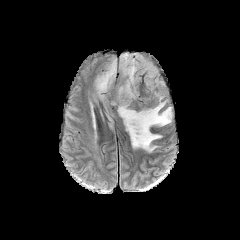
FLAIR magnetic resonance.
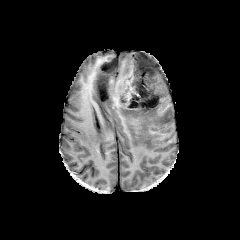
T1-weighted magnetic resonance of the same slice.
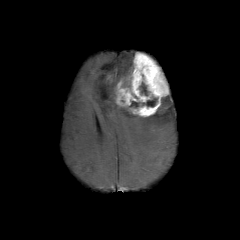
Post-contrast T1-weighted magnetic resonance.
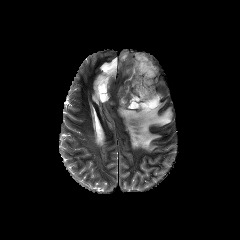
T2-weighted magnetic resonance of the same slice.
240x240 px
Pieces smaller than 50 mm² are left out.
Findings:
* enhancing tumor: {"x1": 116, "y1": 52, "x2": 168, "y2": 117}
* peritumoral edema: {"x1": 95, "y1": 53, "x2": 172, "y2": 152}
* necrotic tumor core: {"x1": 129, "y1": 101, "x2": 139, "y2": 107}, {"x1": 142, "y1": 98, "x2": 157, "y2": 106}, {"x1": 140, "y1": 82, "x2": 147, "y2": 95}